Image width 240 mm, 1.00 mm slice spacing | 240x240 | Slice index 67
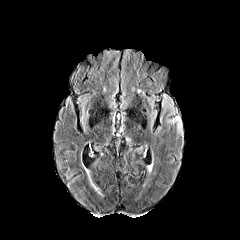
FLAIR magnetic resonance.
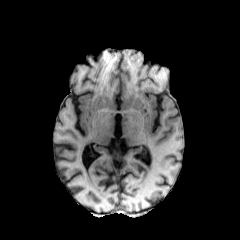
T1-weighted MR image.
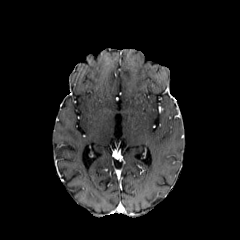
Post-contrast T1-weighted MR.
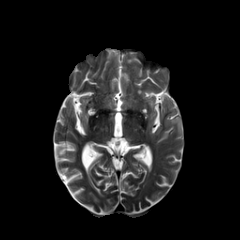
T2-weighted MRI of the same slice.
2 peritumoral edema regions are bounded by box=[167, 117, 182, 134]; box=[162, 97, 176, 115].